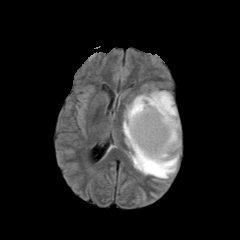
FLAIR MR.
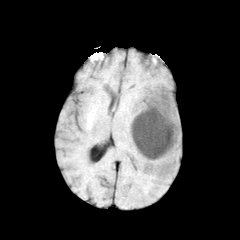
Same slice, T1-weighted MR.
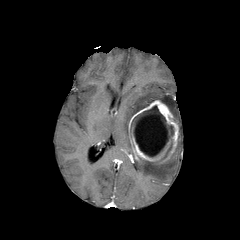
Post-contrast T1-weighted MRI.
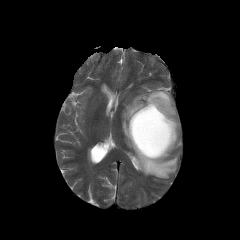
T2-weighted MR of the same slice.
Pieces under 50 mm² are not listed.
• necrotic tumor core: (131,105,173,157)
• peritumoral edema: (135,152,179,178), (122,90,181,150)
• enhancing tumor: (128,100,178,162)